FLAIR MR image.
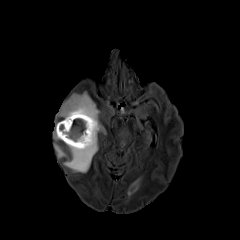
T1-weighted magnetic resonance.
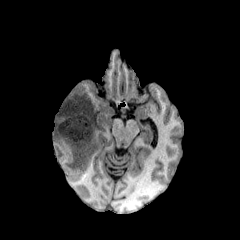
Post-contrast T1-weighted MRI.
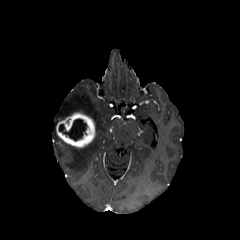
T2-weighted MR.
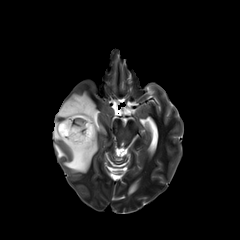
Image size 240x240. Axial slice. Brain.
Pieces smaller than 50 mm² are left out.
enhancing_tumor:
  - x1=56 y1=112 x2=95 y2=148
peritumoral_edema:
  - x1=54 y1=91 x2=105 y2=172
necrotic_tumor_core:
  - x1=59 y1=119 x2=87 y2=140